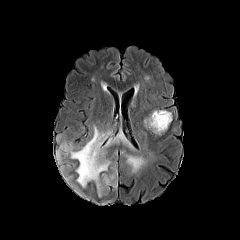
FLAIR MR.
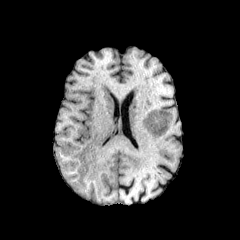
T1-weighted MR.
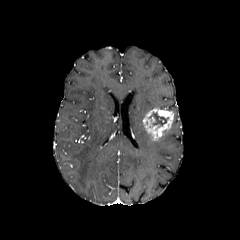
Post-contrast T1-weighted MRI.
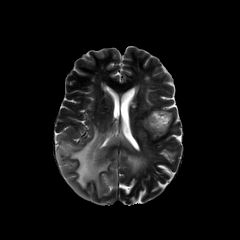
T2-weighted magnetic resonance of the same slice.
Axial view
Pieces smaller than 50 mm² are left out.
necrotic_tumor_core:
  - (152, 113, 168, 125)
peritumoral_edema:
  - (103, 174, 116, 186)
  - (60, 164, 84, 196)
  - (56, 126, 134, 196)
  - (127, 155, 145, 172)
enhancing_tumor:
  - (142, 108, 173, 140)